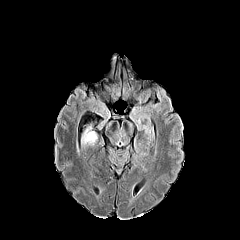
FLAIR magnetic resonance.
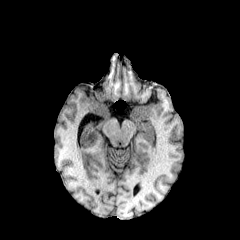
T1-weighted MR of the same slice.
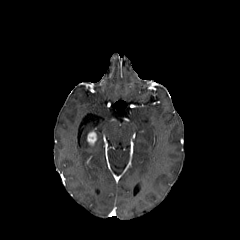
Post-contrast T1-weighted MRI.
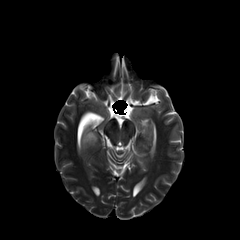
T2-weighted magnetic resonance.
Brain; Axial plane
peritumoral edema = region(81, 127, 91, 147)
enhancing tumor = region(87, 131, 96, 145)